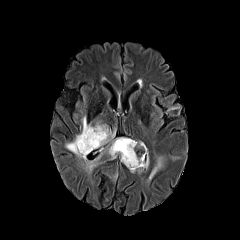
FLAIR MRI.
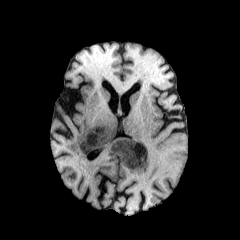
Same slice, T1-weighted magnetic resonance.
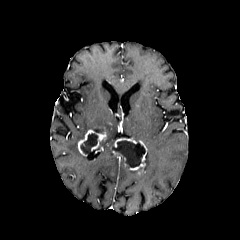
Post-contrast T1-weighted magnetic resonance.
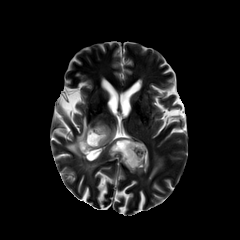
T2-weighted MRI.
Axial plane
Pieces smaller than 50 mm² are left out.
enhancing tumor: bounding box [x1=78, y1=128, x2=106, y2=156], [x1=129, y1=140, x2=147, y2=170], [x1=114, y1=138, x2=136, y2=147], [x1=112, y1=151, x2=127, y2=166]
peritumoral edema: bounding box [x1=145, y1=149, x2=149, y2=169], [x1=66, y1=116, x2=115, y2=173], [x1=148, y1=155, x2=165, y2=180], [x1=107, y1=141, x2=115, y2=159]
necrotic tumor core: bounding box [x1=112, y1=140, x2=145, y2=167], [x1=80, y1=133, x2=97, y2=153]